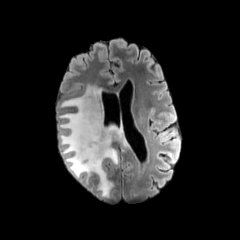
FLAIR magnetic resonance.
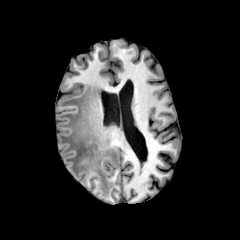
Same slice, T1-weighted MR image.
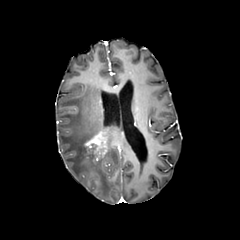
Post-contrast T1-weighted magnetic resonance.
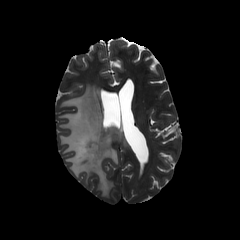
T2-weighted magnetic resonance.
Brain
The peritumoral edema is located at rect(59, 85, 129, 196). The enhancing tumor is at rect(82, 132, 107, 160). The necrotic tumor core lies within rect(84, 144, 96, 155).